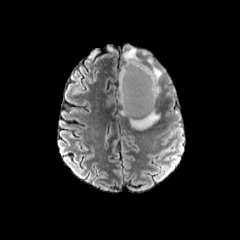
FLAIR magnetic resonance.
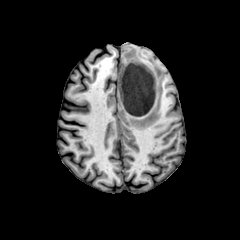
T1-weighted MR image of the same slice.
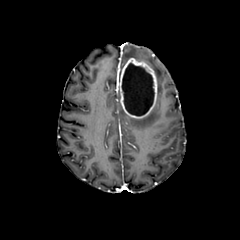
Same slice, post-contrast T1-weighted magnetic resonance.
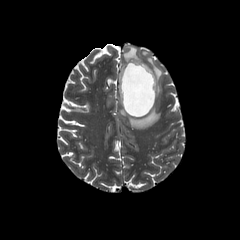
T2-weighted MR image of the same slice.
Axial view
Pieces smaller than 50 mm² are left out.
<segmentation>
  <necrotic_tumor_core><bbox>122, 63, 154, 115</bbox></necrotic_tumor_core>
  <peritumoral_edema><bbox>129, 107, 159, 129</bbox>, <bbox>123, 46, 141, 62</bbox>, <bbox>147, 57, 162, 81</bbox></peritumoral_edema>
  <enhancing_tumor><bbox>119, 58, 157, 118</bbox></enhancing_tumor>
</segmentation>